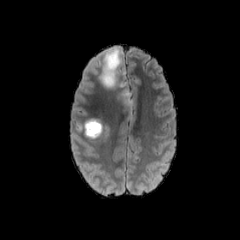
FLAIR MRI.
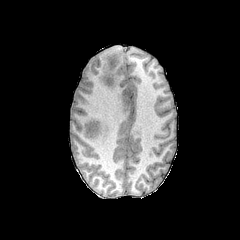
Same slice, T1-weighted MR.
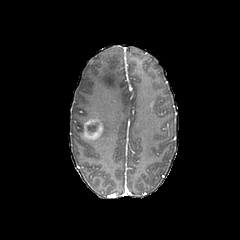
Same slice, post-contrast T1-weighted MR image.
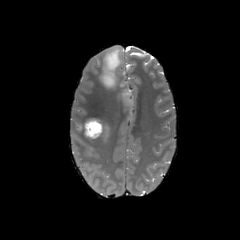
T2-weighted MR.
Head; Image size 240x240; Axial plane
The enhancing tumor is at region(83, 116, 103, 140). 2 peritumoral edema regions appear at region(72, 111, 111, 146); region(99, 47, 136, 123). The necrotic tumor core appears at region(88, 125, 96, 132).